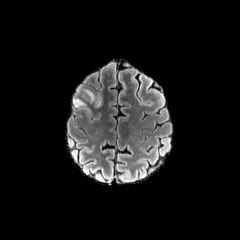
FLAIR magnetic resonance.
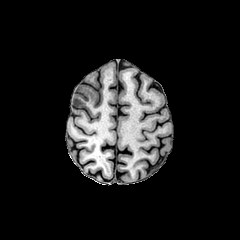
Same slice, T1-weighted MR.
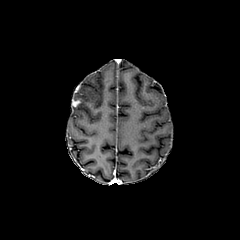
Post-contrast T1-weighted MR image.
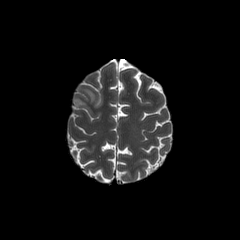
T2-weighted magnetic resonance.
240x240, Brain, Axial view
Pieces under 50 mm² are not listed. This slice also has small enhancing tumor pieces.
peritumoral edema — l=83, t=89, r=94, b=102